Brain; 240x240; Axial slice
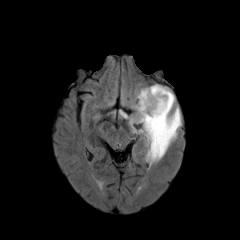
FLAIR MR.
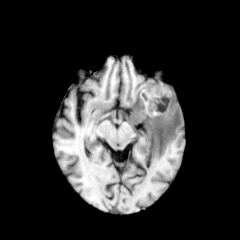
T1-weighted MRI.
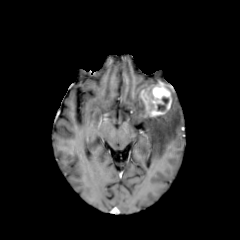
Post-contrast T1-weighted MR.
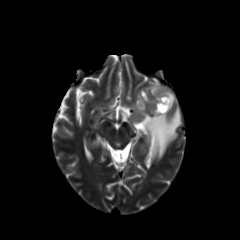
T2-weighted MRI.
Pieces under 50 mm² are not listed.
The enhancing tumor lies within x1=139 y1=82 x2=171 y2=117. The largest necrotic tumor core region is at x1=157 y1=97 x2=168 y2=111. The 2 largest peritumoral edema regions are located at x1=132 y1=95 x2=181 y2=158, x1=147 y1=84 x2=158 y2=97.